FLAIR MR.
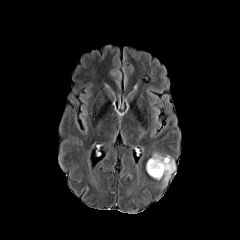
T1-weighted MR image.
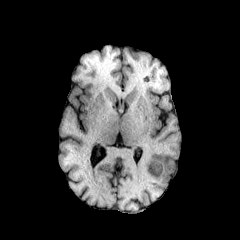
Post-contrast T1-weighted magnetic resonance.
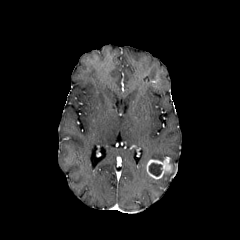
T2-weighted MR.
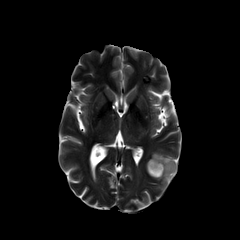
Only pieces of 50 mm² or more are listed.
Annotated regions:
* necrotic tumor core: (149,163,162,176)
* enhancing tumor: (146,157,172,179)
* peritumoral edema: (150,152,164,161), (161,174,170,187), (170,158,175,173)